Slice index 127, Brain
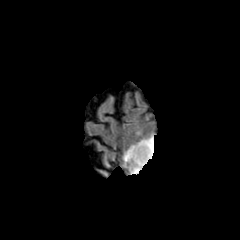
FLAIR MR image.
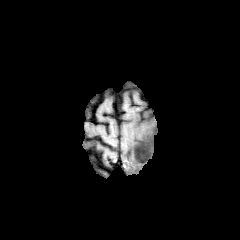
T1-weighted magnetic resonance of the same slice.
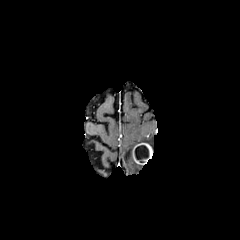
Post-contrast T1-weighted MR.
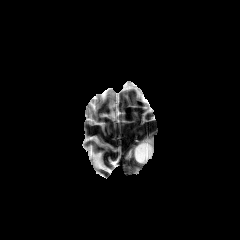
T2-weighted MR image.
<segmentation>
  <enhancing_tumor>x1=132, y1=142, x2=153, y2=164</enhancing_tumor>
  <peritumoral_edema>x1=137, y1=135, x2=153, y2=149; x1=124, y1=145, x2=143, y2=174</peritumoral_edema>
  <necrotic_tumor_core>x1=135, y1=145, x2=148, y2=162</necrotic_tumor_core>
</segmentation>